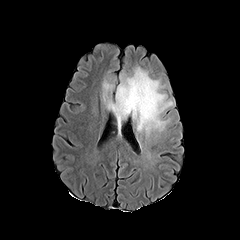
FLAIR magnetic resonance.
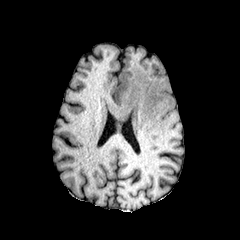
Same slice, T1-weighted MRI.
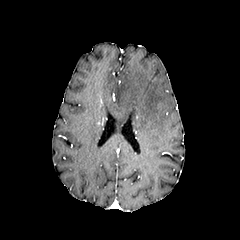
Same slice, post-contrast T1-weighted MRI.
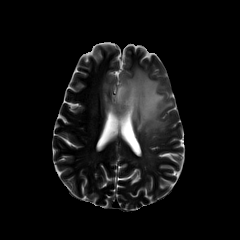
T2-weighted MRI.
Head; Axial slice; 240x240 px
Findings:
* peritumoral edema: <box>103,67,173,135</box>